FLAIR magnetic resonance.
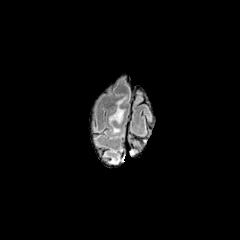
T1-weighted MRI.
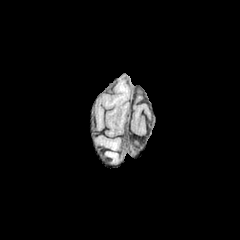
Post-contrast T1-weighted MR image.
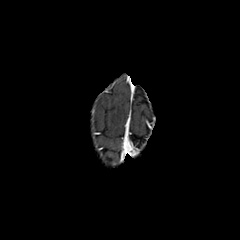
T2-weighted MR image.
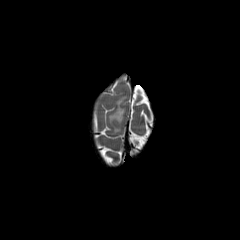
Axial slice, 240x240 px
peritumoral_edema:
  - rect(109, 98, 125, 133)